Slice 57 of 155
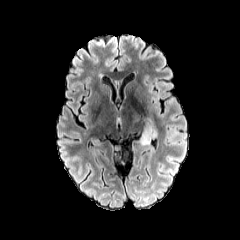
FLAIR MR image.
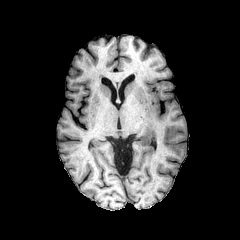
Same slice, T1-weighted MRI.
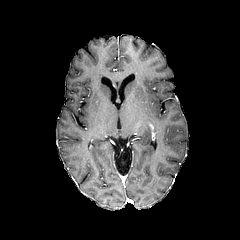
Same slice, post-contrast T1-weighted MR.
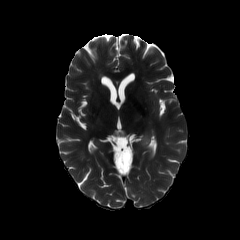
T2-weighted MR.
<segmentation>
  <peritumoral_edema>139 122 157 145</peritumoral_edema>
</segmentation>